FLAIR MR.
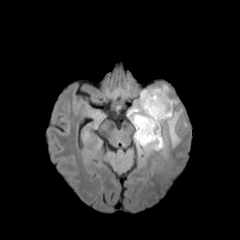
T1-weighted MR image.
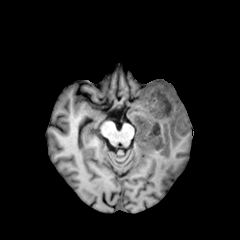
Post-contrast T1-weighted MRI.
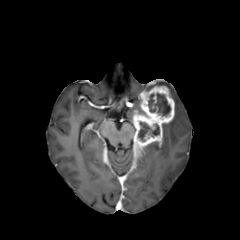
T2-weighted MR.
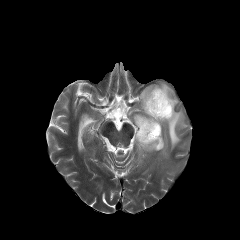
240x240, Brain
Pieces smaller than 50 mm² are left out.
peritumoral edema = bbox(127, 98, 144, 122); bbox(142, 109, 187, 155)
enhancing tumor = bbox(133, 86, 174, 156)
necrotic tumor core = bbox(138, 122, 159, 141); bbox(148, 93, 170, 115)